FLAIR MR image.
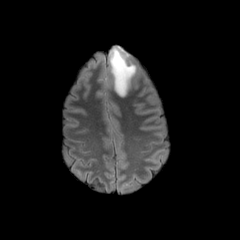
T1-weighted magnetic resonance.
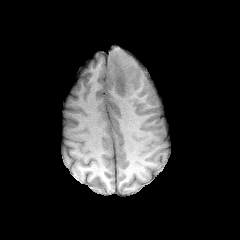
Post-contrast T1-weighted magnetic resonance.
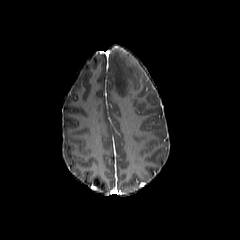
T2-weighted magnetic resonance.
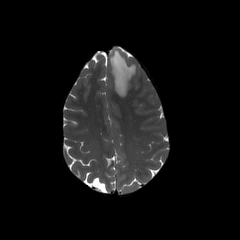
240x240 px. Axial view.
The peritumoral edema is located at [110, 48, 135, 96].